FLAIR magnetic resonance.
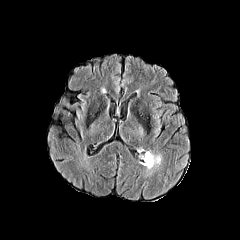
T1-weighted MR image.
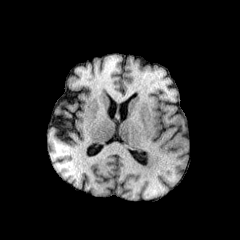
Post-contrast T1-weighted MR.
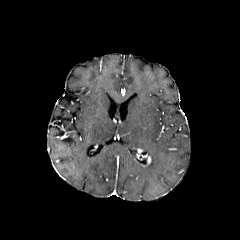
T2-weighted MRI.
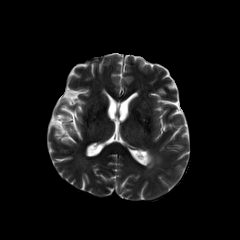
Axial view; Head
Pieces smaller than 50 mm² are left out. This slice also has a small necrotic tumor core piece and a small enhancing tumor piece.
peritumoral edema = <box>146,151,161,169</box>